FLAIR MRI.
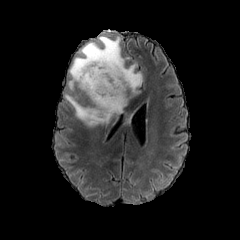
T1-weighted MR image.
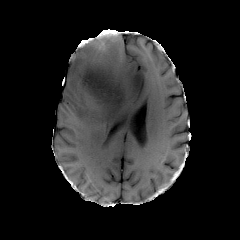
Post-contrast T1-weighted MR image.
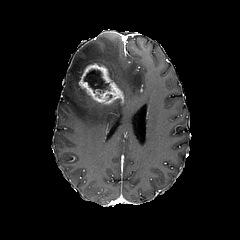
T2-weighted MR.
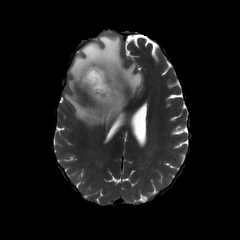
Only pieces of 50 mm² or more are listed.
• peritumoral edema: <bbox>64, 35, 142, 126</bbox>
• necrotic tumor core: <bbox>84, 70, 109, 92</bbox>
• enhancing tumor: <bbox>78, 60, 125, 105</bbox>